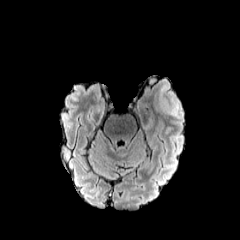
FLAIR MRI.
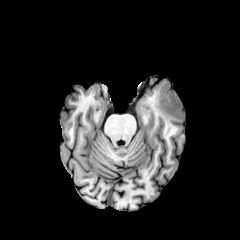
Same slice, T1-weighted magnetic resonance.
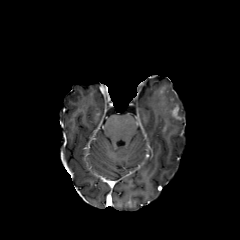
Post-contrast T1-weighted MR image of the same slice.
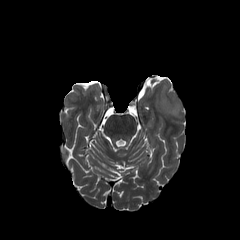
T2-weighted MR image.
Axial plane. Brain.
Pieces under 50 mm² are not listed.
enhancing_tumor:
  - bbox(166, 104, 180, 119)
peritumoral_edema:
  - bbox(157, 83, 182, 122)